Head, 240x240, Slice 51/155, Image covers 240 mm x 240 mm
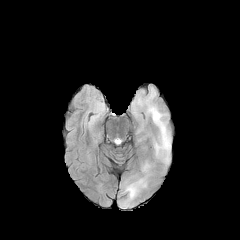
FLAIR MR image.
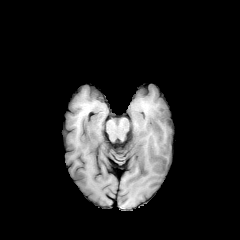
T1-weighted magnetic resonance of the same slice.
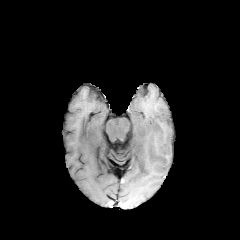
Post-contrast T1-weighted magnetic resonance of the same slice.
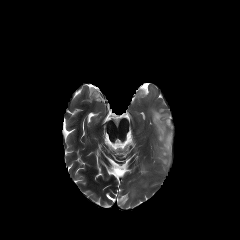
T2-weighted magnetic resonance.
Findings:
- peritumoral edema: [152, 110, 170, 150]